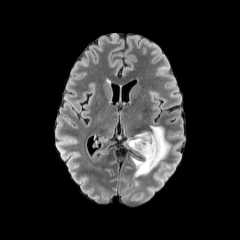
FLAIR magnetic resonance.
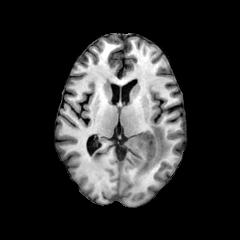
T1-weighted MRI of the same slice.
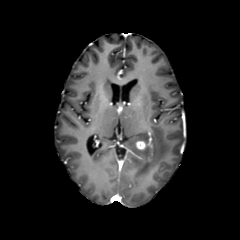
Post-contrast T1-weighted MRI of the same slice.
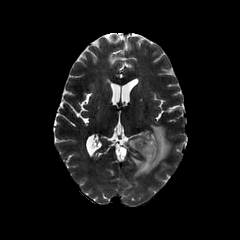
T2-weighted MRI of the same slice.
240x240. Axial slice. Brain.
* enhancing tumor: x1=135 y1=140 x2=146 y2=149
* peritumoral edema: x1=125 y1=125 x2=170 y2=185